FLAIR MR image.
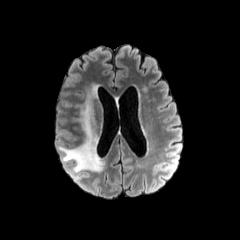
T1-weighted MRI.
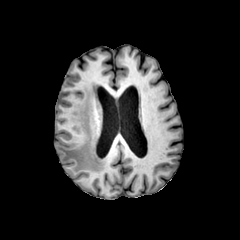
Post-contrast T1-weighted MR.
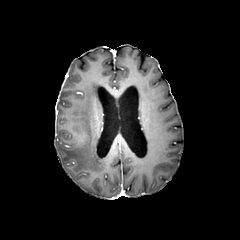
T2-weighted MR.
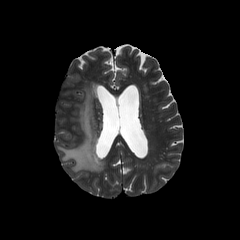
Axial plane, Brain
peritumoral edema: bounding box x1=58 y1=85 x2=104 y2=172